Image width 240 mm | 240x240
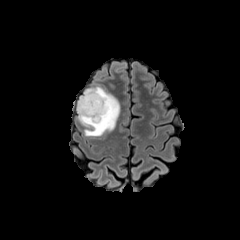
FLAIR MR.
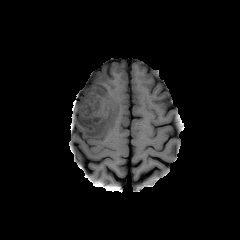
T1-weighted MRI of the same slice.
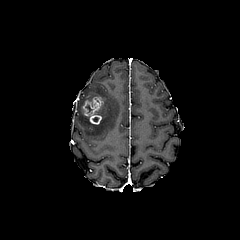
Post-contrast T1-weighted MRI.
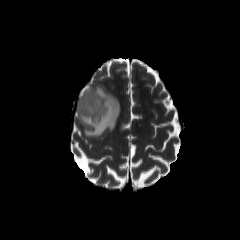
T2-weighted MR.
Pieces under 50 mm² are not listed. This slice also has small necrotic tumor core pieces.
peritumoral edema: 77,86,120,136
enhancing tumor: 81,96,103,124